Image width 240 mm. Axial plane. 240x240.
FLAIR MR image.
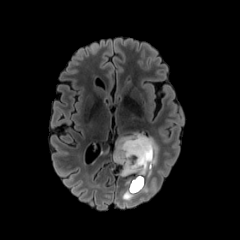
T1-weighted MRI.
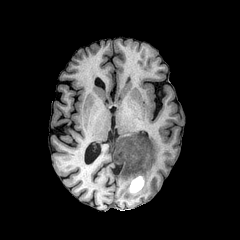
Post-contrast T1-weighted MR.
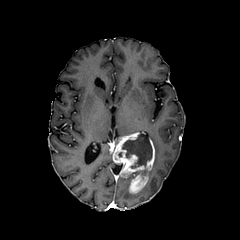
T2-weighted MR image.
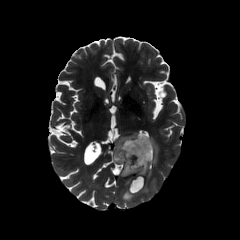
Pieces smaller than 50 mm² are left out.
Segmented structures:
* enhancing tumor: region(112, 132, 154, 193)
* necrotic tumor core: region(122, 133, 152, 168)
* peritumoral edema: region(150, 136, 159, 166); region(122, 188, 137, 200); region(138, 185, 148, 192)